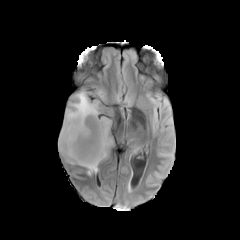
FLAIR MR.
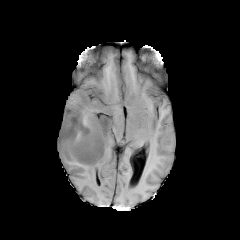
T1-weighted MR.
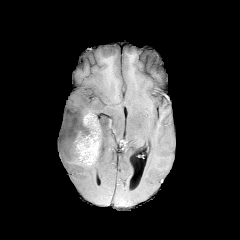
Post-contrast T1-weighted magnetic resonance of the same slice.
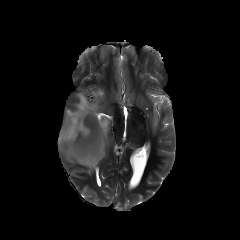
T2-weighted magnetic resonance.
240x240 px. Axial plane.
enhancing tumor — bbox=[72, 115, 101, 166]
peritumoral edema — bbox=[58, 90, 112, 175]; bbox=[94, 90, 104, 98]